FLAIR magnetic resonance.
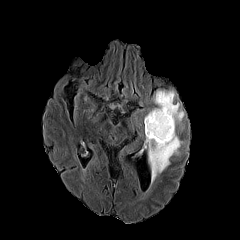
T1-weighted magnetic resonance.
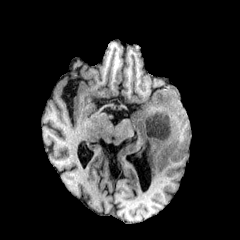
Post-contrast T1-weighted MR.
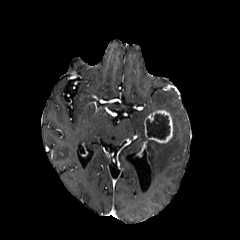
T2-weighted MR.
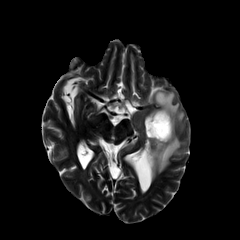
Brain | 240x240 px | Axial view
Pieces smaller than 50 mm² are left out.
The largest peritumoral edema region is at [146, 90, 184, 183]. The enhancing tumor is bounded by [144, 109, 173, 143]. The necrotic tumor core appears at [146, 114, 169, 139].